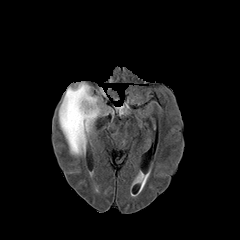
FLAIR magnetic resonance.
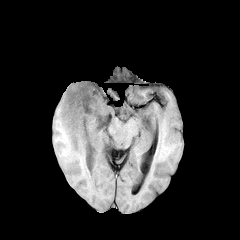
Same slice, T1-weighted magnetic resonance.
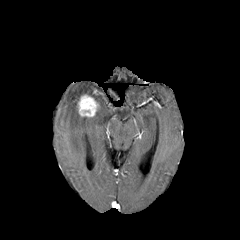
Post-contrast T1-weighted magnetic resonance.
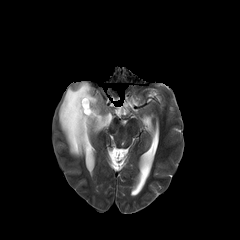
T2-weighted MR image.
Brain, Axial view
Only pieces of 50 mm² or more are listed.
The enhancing tumor lies within <box>77,94,99,117</box>. The 2 largest peritumoral edema regions are bounded by <box>116,105,127,114</box>, <box>58,82,110,156</box>.